FLAIR magnetic resonance.
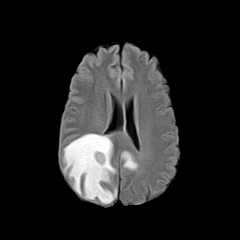
T1-weighted magnetic resonance.
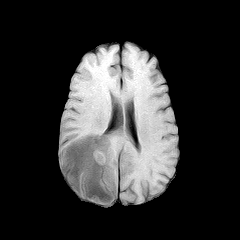
Post-contrast T1-weighted MR image.
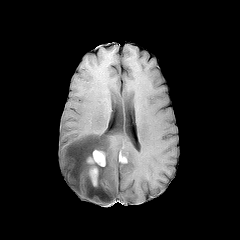
T2-weighted MR image.
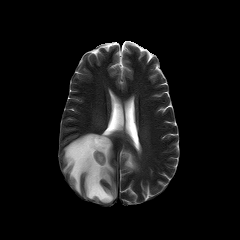
240x240
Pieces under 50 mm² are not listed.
2 peritumoral edema regions are located at bbox(63, 133, 116, 203); bbox(121, 151, 137, 170). The 2 largest enhancing tumor regions are located at bbox(89, 166, 98, 186); bbox(87, 150, 105, 166).